FLAIR magnetic resonance.
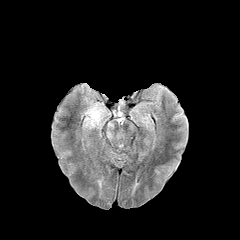
T1-weighted MR image.
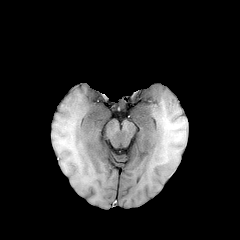
Post-contrast T1-weighted magnetic resonance.
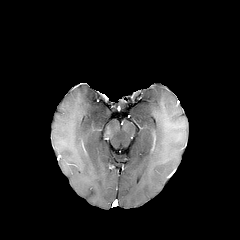
T2-weighted MRI.
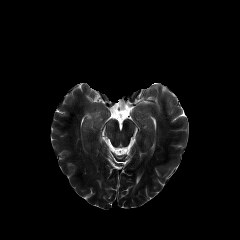
240x240 px.
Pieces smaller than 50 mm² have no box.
peritumoral_edema:
  - <box>86,106,104,128</box>